Head. Slice 97 of 155.
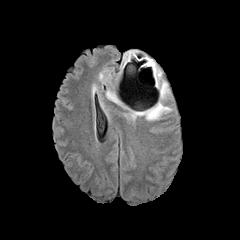
FLAIR MR image.
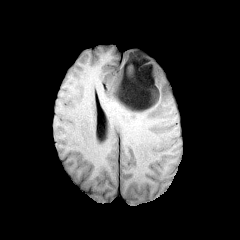
T1-weighted magnetic resonance.
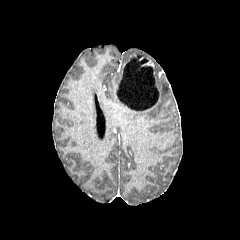
Same slice, post-contrast T1-weighted MR image.
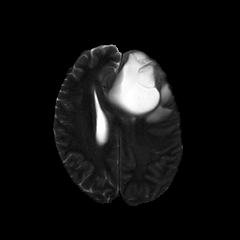
T2-weighted MR.
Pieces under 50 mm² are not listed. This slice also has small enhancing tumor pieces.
necrotic tumor core: bounding box rect(116, 53, 159, 111)
peritumoral edema: bounding box rect(106, 89, 124, 108); rect(129, 68, 171, 121)